Slice index 44; Axial slice; Brain
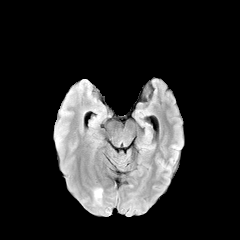
FLAIR magnetic resonance.
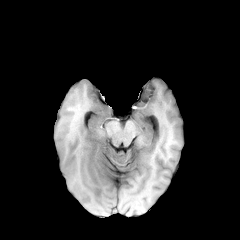
T1-weighted MRI.
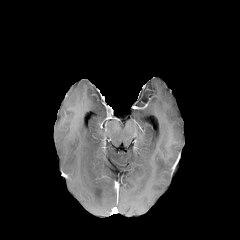
Same slice, post-contrast T1-weighted MR image.
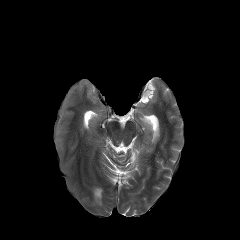
T2-weighted MR image of the same slice.
The peritumoral edema lies within box(94, 189, 102, 199).